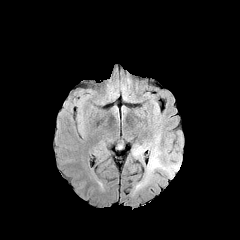
FLAIR MR.
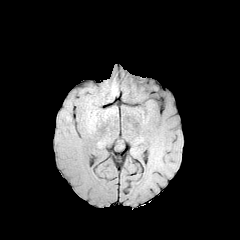
T1-weighted magnetic resonance.
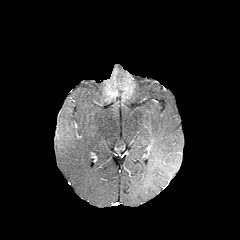
Same slice, post-contrast T1-weighted magnetic resonance.
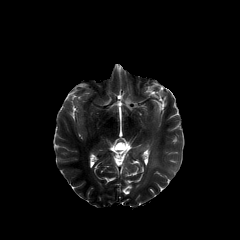
Same slice, T2-weighted MRI.
Image size 240x240
peritumoral_edema:
  - left=133, top=90, right=182, bottom=187